Brain | Slice 128 of 155 | 240x240 px
FLAIR MRI.
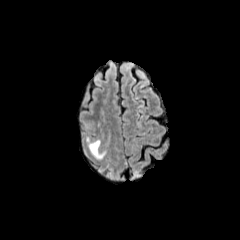
T1-weighted MR.
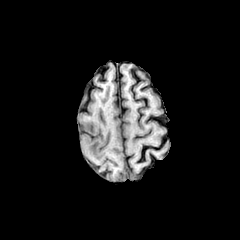
Post-contrast T1-weighted MRI.
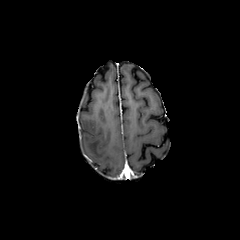
T2-weighted MR image.
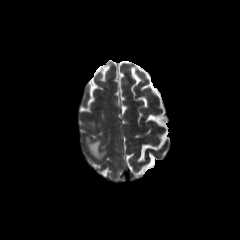
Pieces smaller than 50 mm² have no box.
The largest peritumoral edema region is located at l=86, t=137, r=107, b=158.